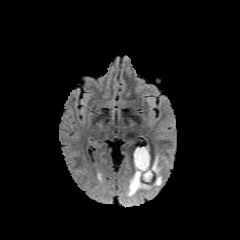
FLAIR magnetic resonance.
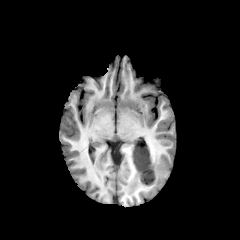
T1-weighted MRI.
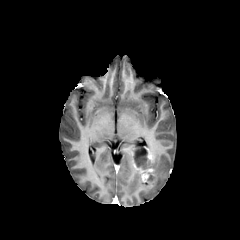
Post-contrast T1-weighted MRI.
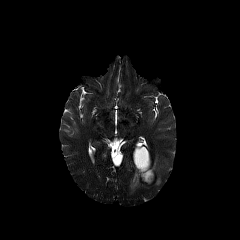
Same slice, T2-weighted magnetic resonance.
Axial slice
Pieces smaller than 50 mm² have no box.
enhancing_tumor:
  - <bbox>133, 153, 153, 181</bbox>
  - <bbox>138, 147, 151, 161</bbox>
peritumoral_edema:
  - <bbox>154, 174, 161, 185</bbox>
  - <bbox>127, 169, 150, 196</bbox>
  - <bbox>151, 156, 161, 173</bbox>
necrotic_tumor_core:
  - <bbox>134, 148, 150, 169</bbox>